Image width 240 mm, 1.00 mm slice spacing, Brain
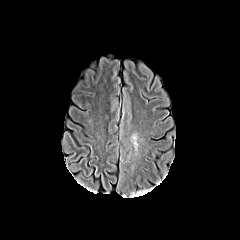
FLAIR MR.
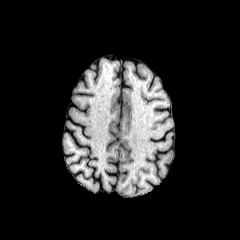
T1-weighted MRI.
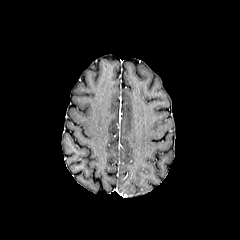
Post-contrast T1-weighted MR image of the same slice.
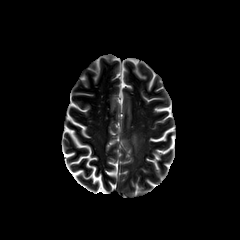
T2-weighted MR image.
peritumoral edema — x1=132 y1=135 x2=137 y2=147